Image size 240x240. Brain. Slice 33 of 155.
FLAIR magnetic resonance.
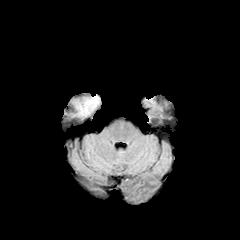
T1-weighted magnetic resonance.
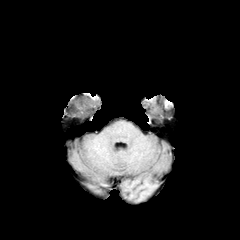
Post-contrast T1-weighted MR.
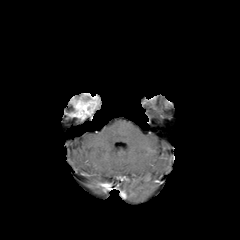
T2-weighted MRI.
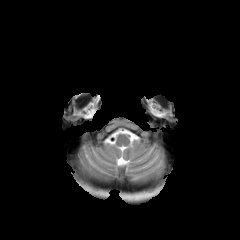
enhancing tumor: rect(68, 94, 99, 119)